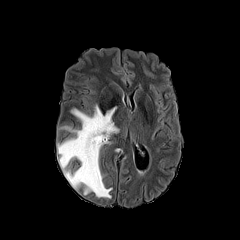
FLAIR MRI.
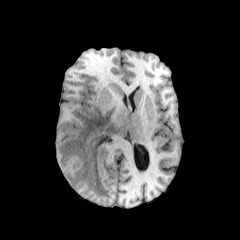
T1-weighted MRI of the same slice.
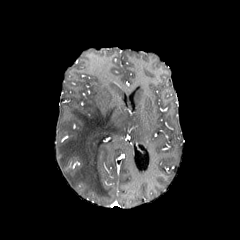
Post-contrast T1-weighted MR image.
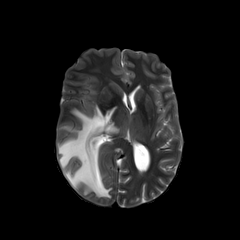
T2-weighted MRI.
Head; 240x240; Axial plane
Annotated regions:
• peritumoral edema: (57,105,118,198)